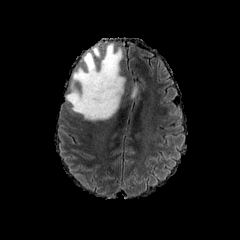
FLAIR magnetic resonance.
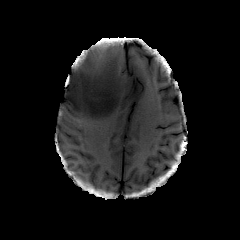
T1-weighted MR image.
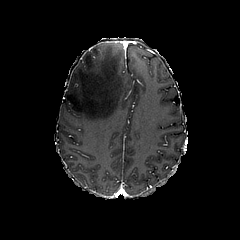
Same slice, post-contrast T1-weighted MR image.
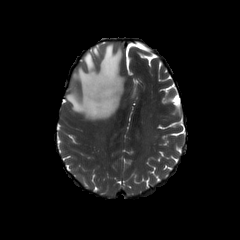
Same slice, T2-weighted MRI.
Image size 240x240
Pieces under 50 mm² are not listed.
- peritumoral edema: bbox(66, 43, 125, 120)